FLAIR MRI.
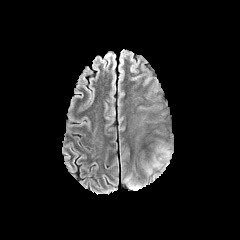
T1-weighted MR.
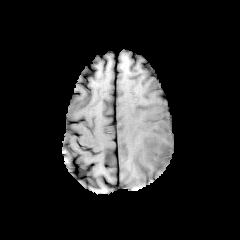
Post-contrast T1-weighted magnetic resonance.
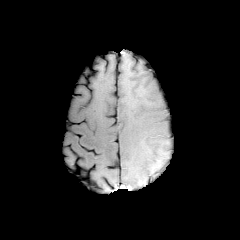
T2-weighted magnetic resonance.
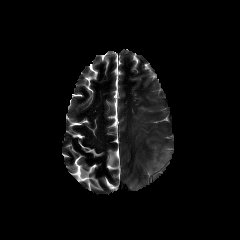
Axial view; Brain
peritumoral edema: 154:149:170:168